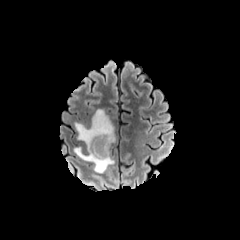
FLAIR MR.
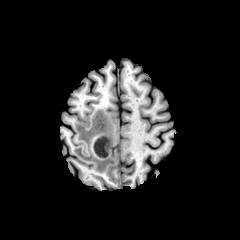
T1-weighted magnetic resonance of the same slice.
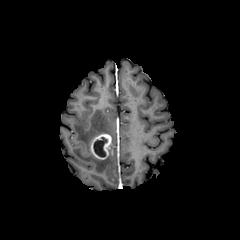
Post-contrast T1-weighted magnetic resonance of the same slice.
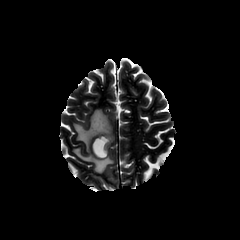
Same slice, T2-weighted MR.
Axial view; 240x240 px; Head
Findings:
• necrotic tumor core: (93, 137, 107, 157)
• enhancing tumor: (90, 134, 111, 159)
• peritumoral edema: (73, 109, 114, 173)